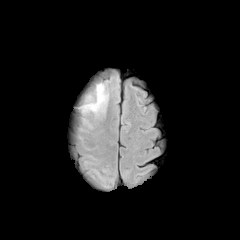
FLAIR MR.
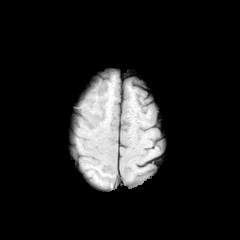
T1-weighted MR image of the same slice.
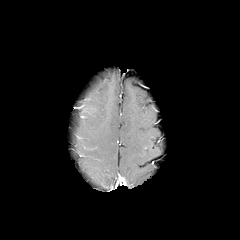
Same slice, post-contrast T1-weighted MR image.
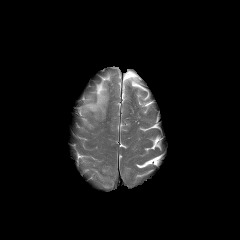
T2-weighted MR of the same slice.
Brain. Axial view.
The peritumoral edema is located at 82,83,108,112.